240x240 px | Axial plane | Slice index 49
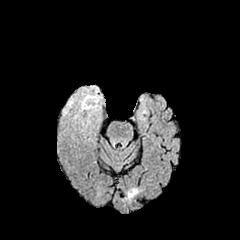
FLAIR magnetic resonance.
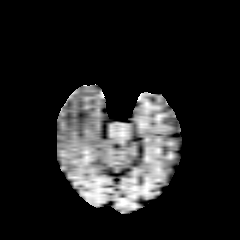
T1-weighted magnetic resonance.
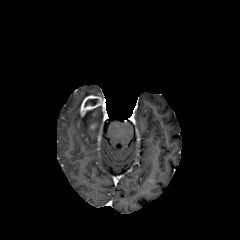
Same slice, post-contrast T1-weighted MRI.
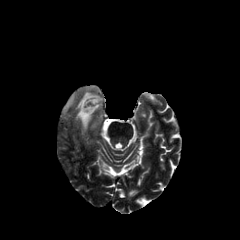
T2-weighted magnetic resonance of the same slice.
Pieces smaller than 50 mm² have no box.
enhancing_tumor:
  - <bbox>79, 95, 101, 116</bbox>
necrotic_tumor_core:
  - <bbox>84, 99, 97, 106</bbox>
peritumoral_edema:
  - <bbox>63, 86, 98, 127</bbox>